Axial plane, Brain
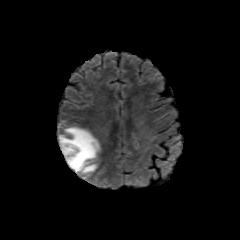
FLAIR MR.
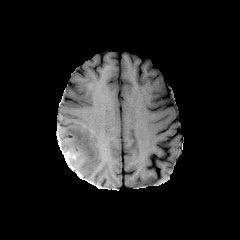
Same slice, T1-weighted MR.
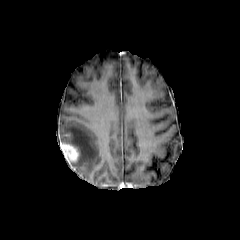
Post-contrast T1-weighted MR.
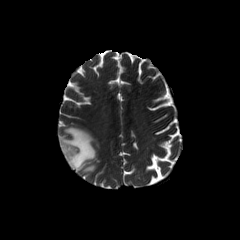
Same slice, T2-weighted magnetic resonance.
enhancing tumor at (x1=60, y1=142, x2=79, y2=164)
peritumoral edema at (x1=59, y1=126, x2=100, y2=179)